Slice 97 of 155; Image width 240 mm, 1.00 mm slice spacing
FLAIR magnetic resonance.
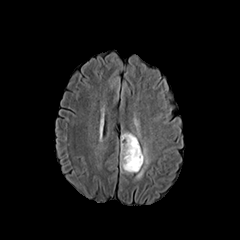
T1-weighted MR.
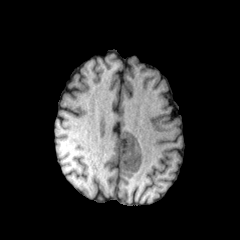
Post-contrast T1-weighted magnetic resonance.
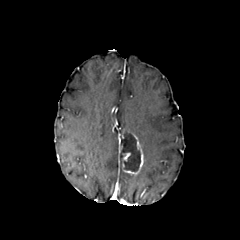
T2-weighted MR.
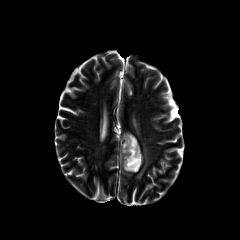
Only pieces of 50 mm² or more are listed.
The largest peritumoral edema region appears at (x1=136, y1=143, x2=150, y2=179). The largest enhancing tumor region is bounded by (x1=122, y1=131, x2=143, y2=175). The necrotic tumor core lies within (x1=121, y1=132, x2=140, y2=171).